Slice 80/155; 240x240 px
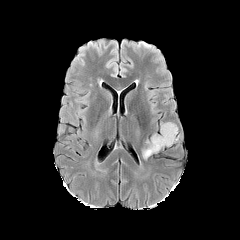
FLAIR MR.
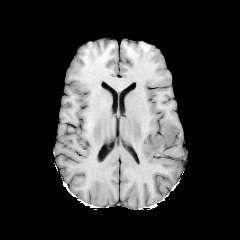
T1-weighted MRI.
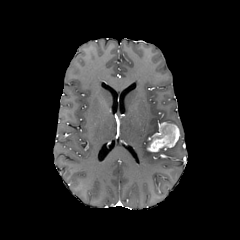
Same slice, post-contrast T1-weighted magnetic resonance.
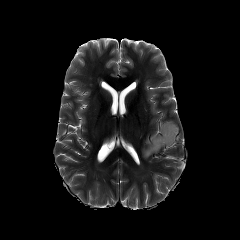
T2-weighted MRI of the same slice.
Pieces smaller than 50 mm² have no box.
peritumoral edema — 142 148 157 158
enhancing tumor — 147 122 179 151